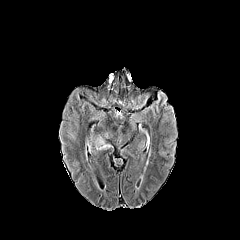
FLAIR MR.
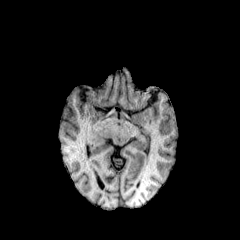
Same slice, T1-weighted MRI.
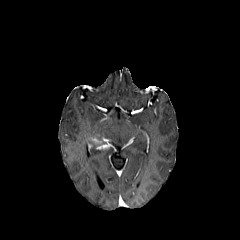
Post-contrast T1-weighted MR of the same slice.
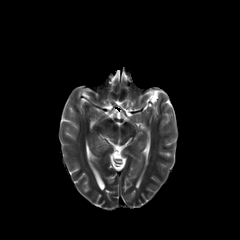
T2-weighted MR image of the same slice.
240x240 | Axial plane | Brain
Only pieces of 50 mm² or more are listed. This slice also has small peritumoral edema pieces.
The enhancing tumor is located at bbox(91, 137, 110, 149).